Image width 240 mm
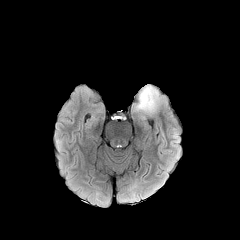
FLAIR MRI.
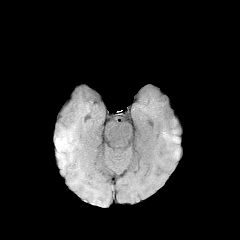
T1-weighted MR image of the same slice.
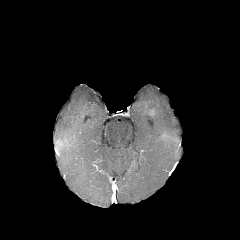
Post-contrast T1-weighted MR image.
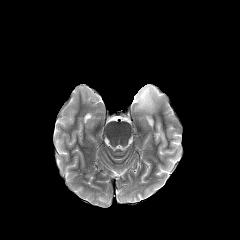
T2-weighted MR image.
The peritumoral edema is at <box>134,85,162,115</box>.